FLAIR magnetic resonance.
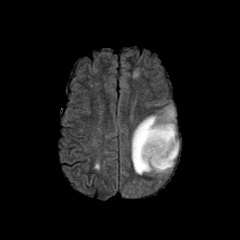
T1-weighted MRI.
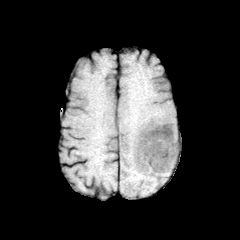
Post-contrast T1-weighted magnetic resonance.
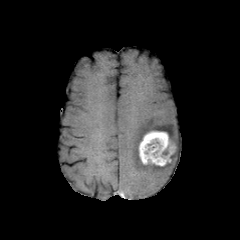
T2-weighted MR image.
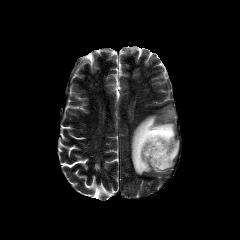
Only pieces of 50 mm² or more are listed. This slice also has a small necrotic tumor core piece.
Annotated regions:
• enhancing tumor: [138,130,176,166]
• peritumoral edema: [131,106,179,174]